Slice index 59 | Head
FLAIR MRI.
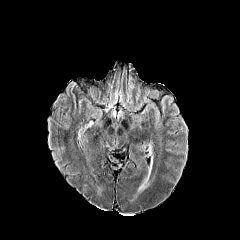
T1-weighted MR.
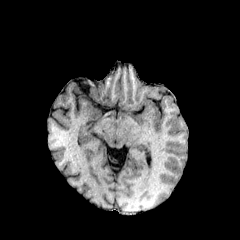
Post-contrast T1-weighted magnetic resonance.
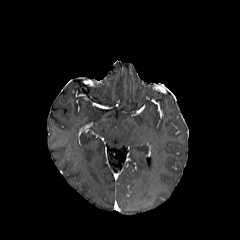
T2-weighted MR.
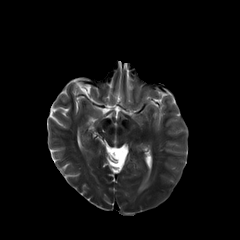
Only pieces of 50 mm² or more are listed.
• peritumoral edema: [139,168,150,190]